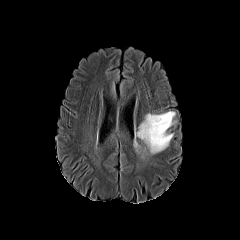
FLAIR MRI.
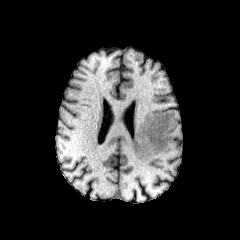
T1-weighted MR image.
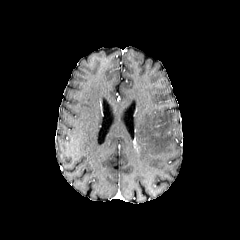
Post-contrast T1-weighted MR.
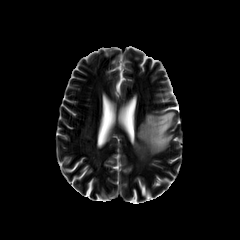
Same slice, T2-weighted MR.
Axial view
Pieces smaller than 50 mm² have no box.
The largest peritumoral edema region lies within (left=136, top=111, right=175, bottom=154).